240x240 px
FLAIR MRI.
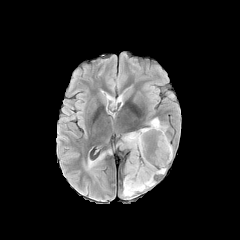
T1-weighted MRI.
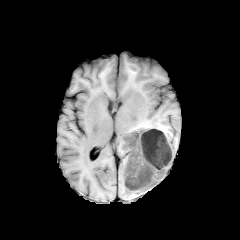
Post-contrast T1-weighted magnetic resonance.
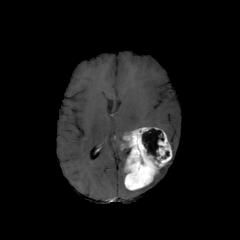
T2-weighted MR image.
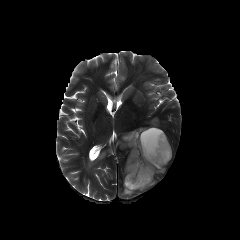
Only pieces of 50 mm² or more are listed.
The 2 largest peritumoral edema regions appear at bbox(123, 180, 155, 197); bbox(150, 118, 165, 131). The largest enhancing tumor region appears at bbox(121, 127, 172, 190). The largest necrotic tumor core region appears at bbox(142, 128, 163, 158).